Head, 240x240, Image width 240 mm, 1.00 mm slice spacing, Slice 57 of 155
FLAIR MRI.
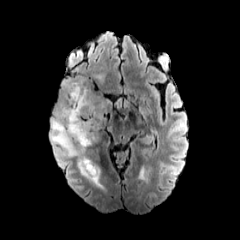
T1-weighted MR.
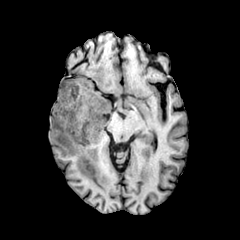
Post-contrast T1-weighted MR.
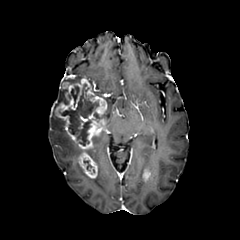
T2-weighted MR.
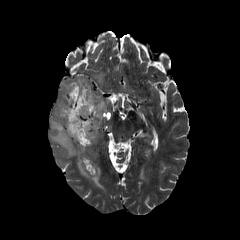
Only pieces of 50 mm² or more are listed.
The 4 largest peritumoral edema regions are located at (x1=63, y1=78, x2=80, y2=83), (x1=139, y1=163, x2=151, y2=179), (x1=77, y1=163, x2=103, y2=188), (x1=50, y1=112, x2=82, y2=157). The 3 largest necrotic tumor core regions appear at (x1=68, y1=86, x2=79, y2=106), (x1=59, y1=89, x2=68, y2=104), (x1=59, y1=84, x2=98, y2=145). The 2 largest enhancing tumor regions appear at (x1=55, y1=78, x2=107, y2=178), (x1=143, y1=168, x2=150, y2=181).